Axial plane | 240x240 px
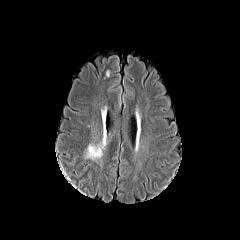
FLAIR MR.
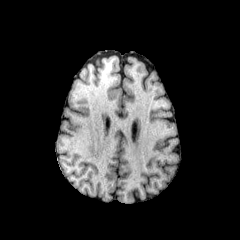
T1-weighted MRI.
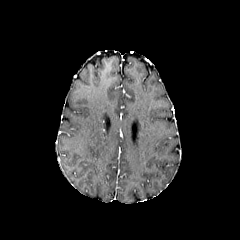
Post-contrast T1-weighted magnetic resonance.
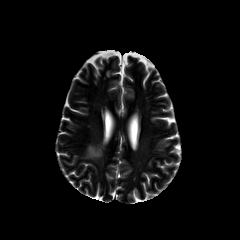
T2-weighted magnetic resonance of the same slice.
The peritumoral edema is bounded by (85,139,105,159).